Image width 240 mm. Brain.
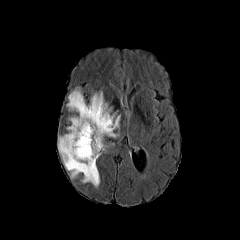
FLAIR MR.
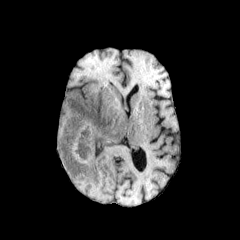
T1-weighted MR of the same slice.
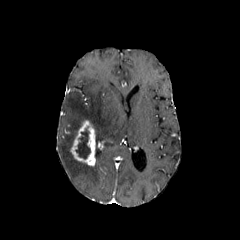
Post-contrast T1-weighted magnetic resonance.
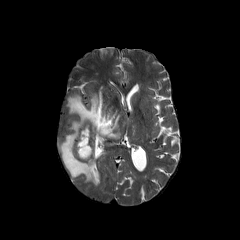
T2-weighted MRI.
Findings:
- necrotic tumor core: <box>76,129,90,158</box>
- peritumoral edema: <box>58,91,119,186</box>
- enhancing tumor: <box>70,120,95,166</box>